FLAIR MR image.
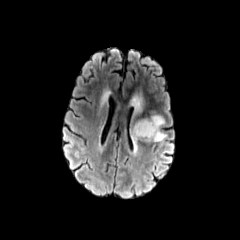
T1-weighted MR.
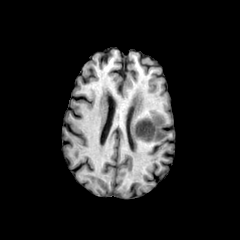
Post-contrast T1-weighted MR.
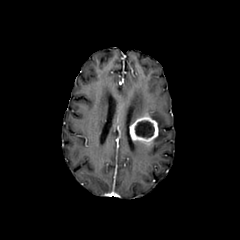
T2-weighted magnetic resonance.
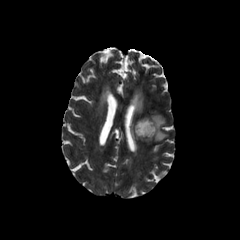
Axial slice
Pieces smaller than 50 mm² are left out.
enhancing tumor = l=129, t=113, r=158, b=144
necrotic tumor core = l=135, t=121, r=154, b=137
peritumoral edema = l=149, t=114, r=167, b=141; l=131, t=95, r=142, b=123